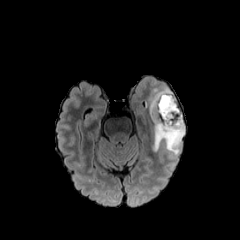
FLAIR MR.
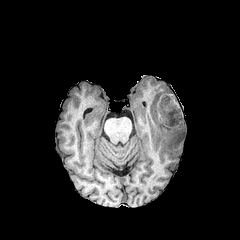
T1-weighted MR.
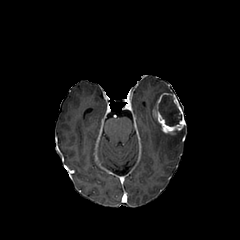
Post-contrast T1-weighted magnetic resonance.
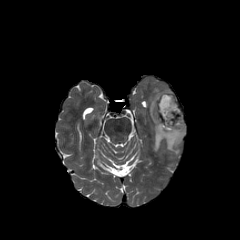
T2-weighted MR image.
Axial slice
peritumoral edema at <bbox>148, 88, 185, 155</bbox>
necrotic tumor core at <bbox>158, 95, 181, 126</bbox>
enhancing tumor at <bbox>152, 93, 185, 134</bbox>